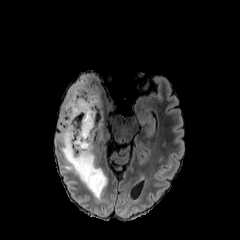
FLAIR magnetic resonance.
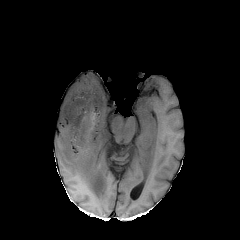
T1-weighted magnetic resonance.
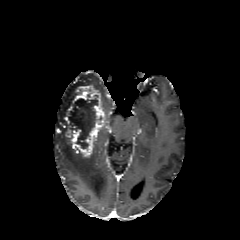
Post-contrast T1-weighted MR.
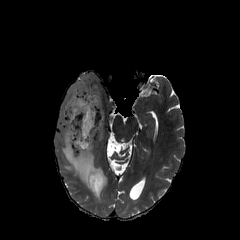
T2-weighted MR.
Axial slice; Image size 240x240
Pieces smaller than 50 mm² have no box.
{
  "necrotic_tumor_core": [
    "<bbox>70, 98, 101, 148</bbox>"
  ],
  "enhancing_tumor": [
    "<bbox>66, 86, 105, 156</bbox>"
  ],
  "peritumoral_edema": [
    "<bbox>97, 126, 105, 140</bbox>",
    "<bbox>58, 74, 106, 199</bbox>"
  ]
}